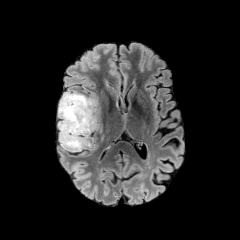
FLAIR MRI.
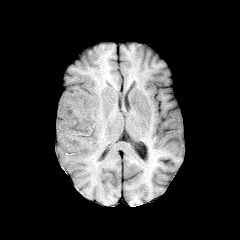
T1-weighted MR.
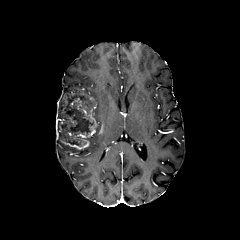
Post-contrast T1-weighted MR of the same slice.
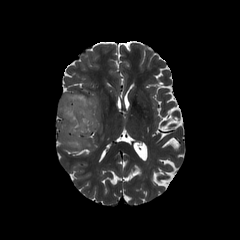
Same slice, T2-weighted MR.
240x240 px | Brain
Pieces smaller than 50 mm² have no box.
{"necrotic_tumor_core": ["61,98,93,145"], "peritumoral_edema": ["60,142,80,151"], "enhancing_tumor": ["67,116,76,126", "58,92,98,150"]}